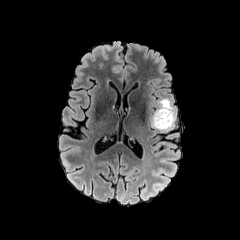
FLAIR magnetic resonance.
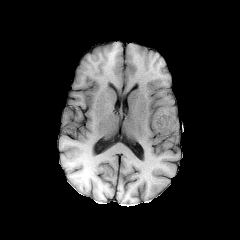
T1-weighted MR image.
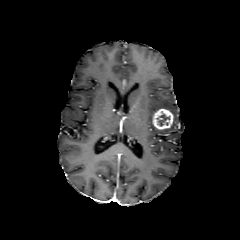
Post-contrast T1-weighted MR image.
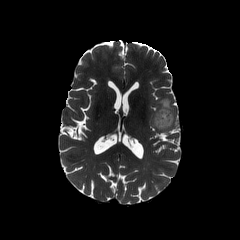
Same slice, T2-weighted MR image.
Axial slice
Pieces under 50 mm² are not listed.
enhancing_tumor:
  - (152,108,173,129)
necrotic_tumor_core:
  - (159,114,169,125)
peritumoral_edema:
  - (155,98,175,131)